FLAIR MR.
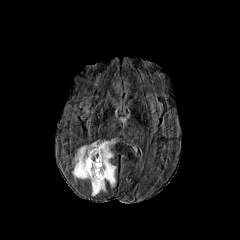
T1-weighted magnetic resonance.
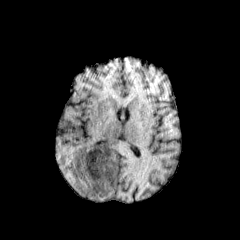
Post-contrast T1-weighted MR image.
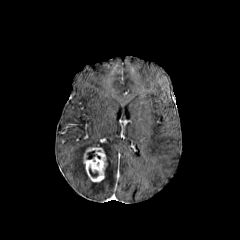
T2-weighted MR.
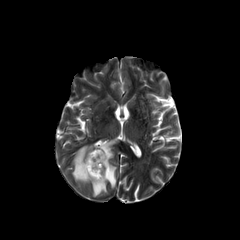
Axial view
peritumoral_edema:
  - rect(72, 139, 116, 195)
necrotic_tumor_core:
  - rect(87, 151, 100, 159)
  - rect(89, 168, 98, 177)
enhancing_tumor:
  - rect(83, 146, 107, 182)